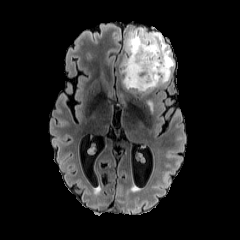
FLAIR MR.
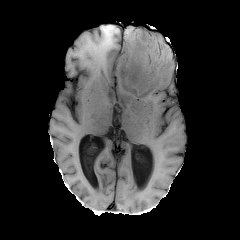
T1-weighted MRI.
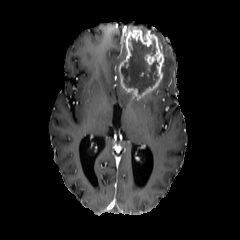
Post-contrast T1-weighted MRI.
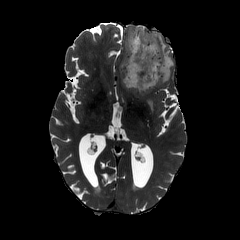
Same slice, T2-weighted MRI.
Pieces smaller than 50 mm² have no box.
Findings:
* enhancing tumor: box(119, 27, 164, 97)
* peritumoral edema: box(151, 32, 174, 86); box(147, 100, 152, 113); box(126, 26, 147, 30)
* necrotic tumor core: box(121, 38, 158, 94)